Axial slice | Head
FLAIR MR image.
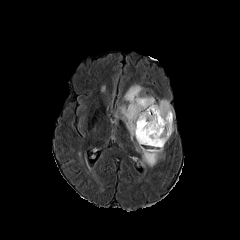
T1-weighted magnetic resonance.
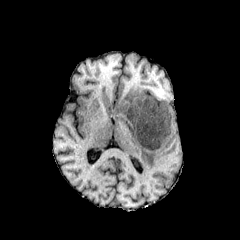
Post-contrast T1-weighted MR.
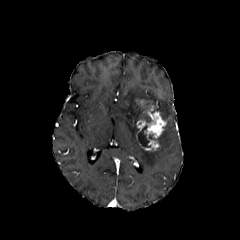
T2-weighted MR image.
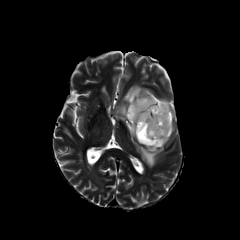
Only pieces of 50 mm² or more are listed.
The peritumoral edema lies within box=[115, 84, 174, 166]. The enhancing tumor is bounded by box=[136, 99, 170, 151]. The largest necrotic tumor core region appears at box=[137, 126, 149, 146].